Image covers 240 mm x 240 mm, Brain
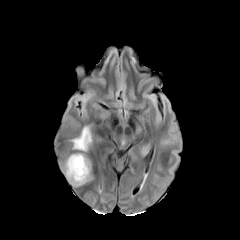
FLAIR MR image.
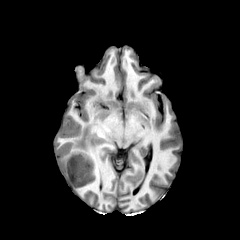
T1-weighted MR of the same slice.
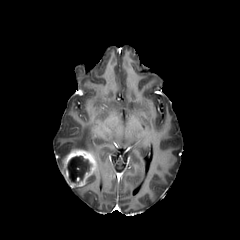
Post-contrast T1-weighted MR image of the same slice.
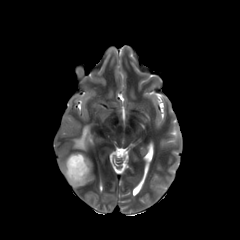
T2-weighted MRI of the same slice.
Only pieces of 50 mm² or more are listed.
<segmentation>
  <necrotic_tumor_core>(67, 156, 91, 183)</necrotic_tumor_core>
  <enhancing_tumor>(62, 150, 95, 187)</enhancing_tumor>
  <peritumoral_edema>(71, 126, 91, 151)</peritumoral_edema>
</segmentation>